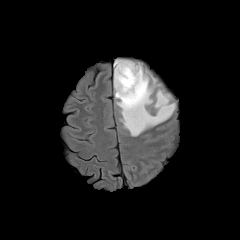
FLAIR MR.
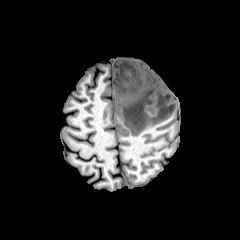
Same slice, T1-weighted MRI.
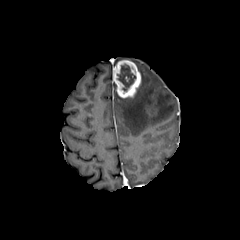
Same slice, post-contrast T1-weighted MR image.
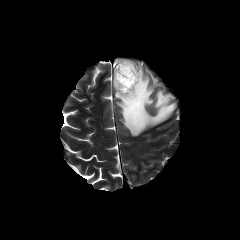
T2-weighted MR of the same slice.
Axial slice; Brain
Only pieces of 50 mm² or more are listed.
The largest peritumoral edema region appears at <bbox>114, 62, 175, 136</bbox>. The enhancing tumor is bounded by <bbox>113, 60, 140, 97</bbox>. The necrotic tumor core is located at <bbox>117, 64, 136, 91</bbox>.